FLAIR MRI.
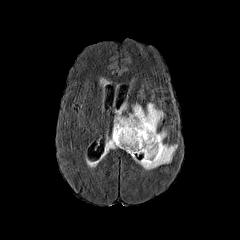
T1-weighted magnetic resonance.
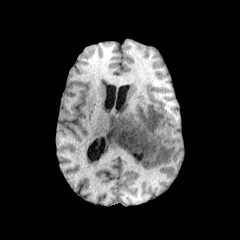
Post-contrast T1-weighted magnetic resonance.
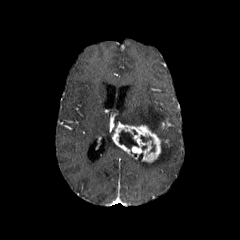
T2-weighted MR image.
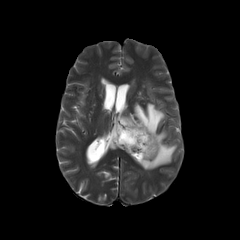
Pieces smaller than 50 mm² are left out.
enhancing tumor: x1=112, y1=121, x2=161, y2=162
necrotic tumor core: x1=119, y1=130, x2=138, y2=148; x1=140, y1=135, x2=151, y2=142
peritumoral edema: x1=105, y1=139, x2=118, y2=153; x1=115, y1=103, x2=177, y2=169